Axial slice, Brain, 240x240 px
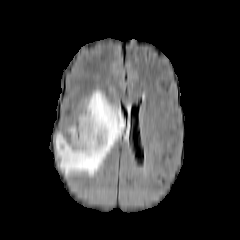
FLAIR MR image.
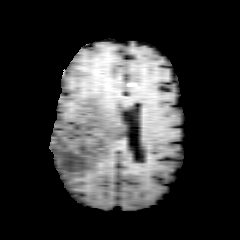
T1-weighted MRI of the same slice.
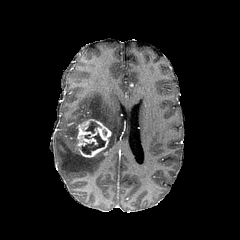
Post-contrast T1-weighted magnetic resonance.
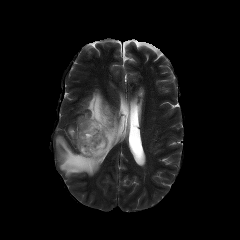
T2-weighted magnetic resonance.
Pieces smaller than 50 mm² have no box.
The 2 largest necrotic tumor core regions are bounded by left=85, top=121, right=99, bottom=133; left=81, top=133, right=105, bottom=154. 2 peritumoral edema regions are located at left=68, top=127, right=77, bottom=144; left=56, top=90, right=123, bottom=176. The largest enhancing tumor region is located at left=76, top=119, right=111, bottom=157.